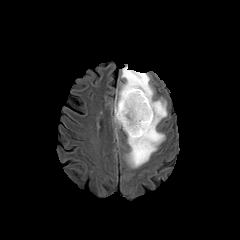
FLAIR MRI.
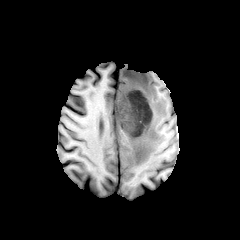
T1-weighted magnetic resonance.
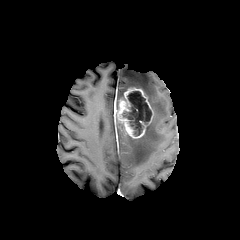
Post-contrast T1-weighted MRI.
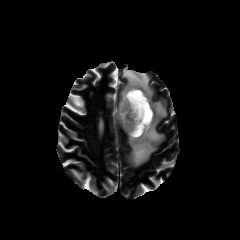
Same slice, T2-weighted MR image.
Brain
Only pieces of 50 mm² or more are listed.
enhancing tumor at bbox(118, 87, 153, 138)
peritumoral edema at bbox(119, 65, 167, 168)
necrotic tumor core at bbox(122, 91, 151, 135)